FLAIR MRI.
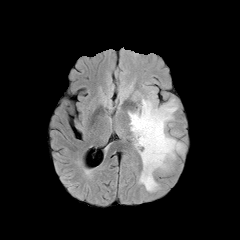
T1-weighted MRI.
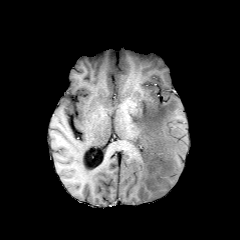
Post-contrast T1-weighted magnetic resonance.
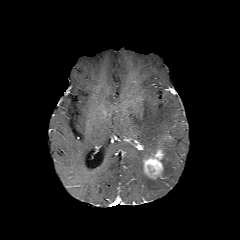
T2-weighted MR.
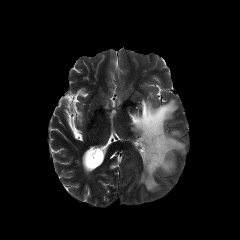
Axial plane | 240x240
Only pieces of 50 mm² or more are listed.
{"peritumoral_edema": ["128:99:184:191"], "enhancing_tumor": ["143:146:164:178"]}